Image width 240 mm, 1.00 mm slice spacing | Axial slice | Head | Slice index 46
FLAIR MR.
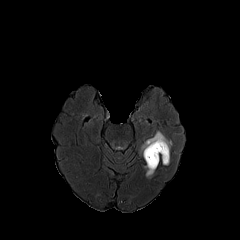
T1-weighted MR image.
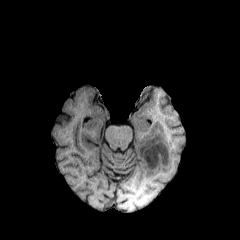
Post-contrast T1-weighted magnetic resonance.
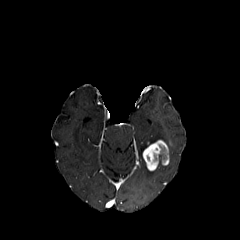
T2-weighted MR.
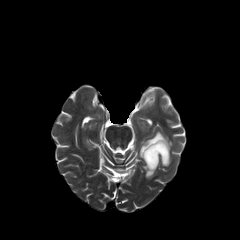
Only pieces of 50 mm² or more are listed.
enhancing_tumor:
  - 142,140,169,170
peritumoral_edema:
  - 140,131,172,154
  - 143,166,154,178